Brain. Axial view. Image size 240x240.
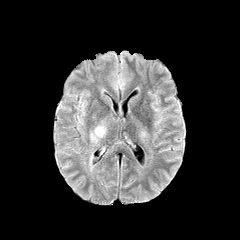
FLAIR MR.
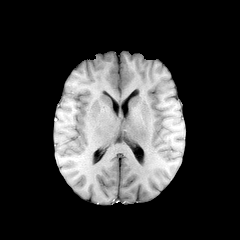
T1-weighted magnetic resonance.
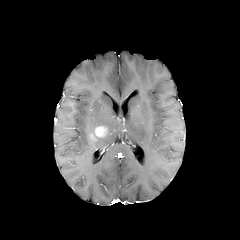
Post-contrast T1-weighted MRI of the same slice.
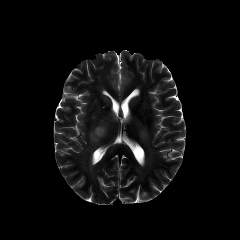
Same slice, T2-weighted MRI.
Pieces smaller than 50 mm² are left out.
enhancing tumor: box=[95, 126, 106, 136]
peritumoral edema: box=[90, 129, 102, 142]